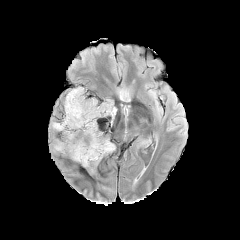
FLAIR MR image.
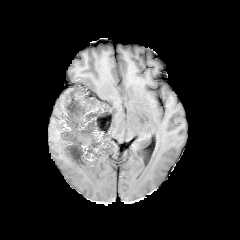
T1-weighted MR of the same slice.
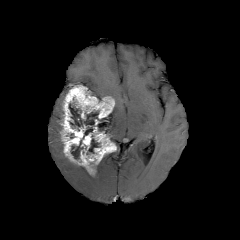
Post-contrast T1-weighted MR.
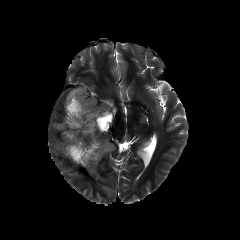
T2-weighted MR.
Brain; 240x240
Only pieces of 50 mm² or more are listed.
peritumoral edema: bounding box box=[54, 140, 63, 152]; box=[52, 122, 61, 131]
necrotic tumor core: bounding box box=[69, 103, 98, 126]; box=[88, 139, 99, 153]; box=[71, 140, 83, 159]; box=[97, 121, 106, 131]
enhancing tumor: bounding box box=[60, 85, 116, 174]